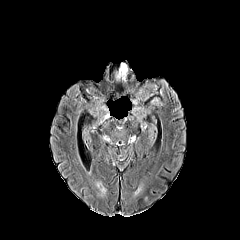
FLAIR MRI.
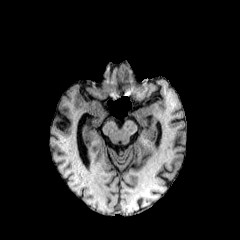
T1-weighted magnetic resonance.
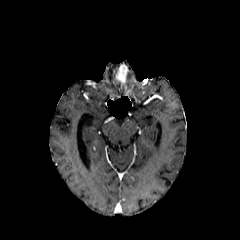
Post-contrast T1-weighted MR.
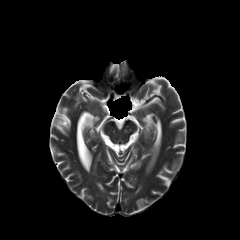
T2-weighted MR image.
Axial view, Brain
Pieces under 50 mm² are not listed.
enhancing tumor: bounding box x1=115, y1=63, x2=128, y2=84